Image size 240x240.
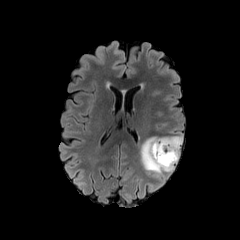
FLAIR MR.
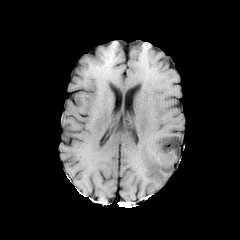
Same slice, T1-weighted magnetic resonance.
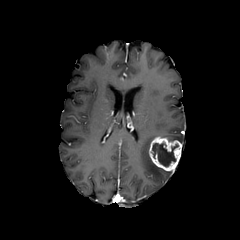
Same slice, post-contrast T1-weighted MRI.
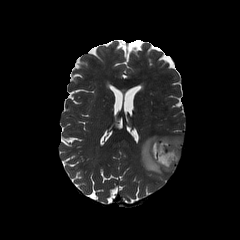
T2-weighted MR image of the same slice.
necrotic tumor core = 152 143 178 166
enhancing tumor = 149 137 181 170
peritumoral edema = 140 134 182 179